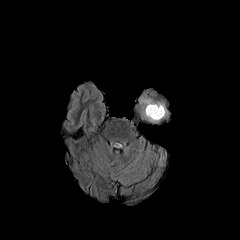
FLAIR MRI.
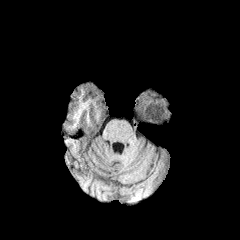
T1-weighted MR of the same slice.
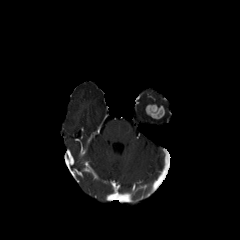
Same slice, post-contrast T1-weighted MR.
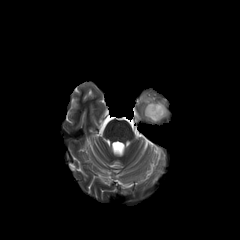
T2-weighted MR image of the same slice.
Brain | Image size 240x240
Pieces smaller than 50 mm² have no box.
enhancing tumor at (145, 104, 164, 119)
peritumoral edema at (140, 97, 167, 121)